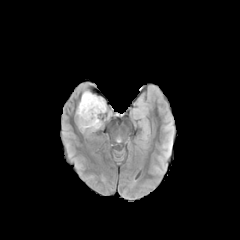
FLAIR MRI.
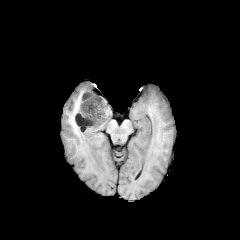
T1-weighted MR.
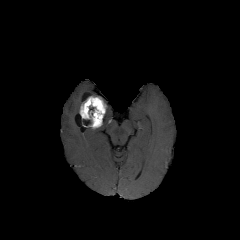
Post-contrast T1-weighted MRI of the same slice.
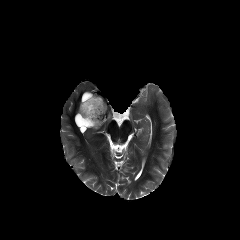
T2-weighted MRI of the same slice.
Brain
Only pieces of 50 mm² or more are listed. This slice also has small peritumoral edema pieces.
necrotic_tumor_core:
  - box=[88, 106, 94, 115]
enhancing_tumor:
  - box=[79, 94, 107, 128]